Slice 111/155
FLAIR MR image.
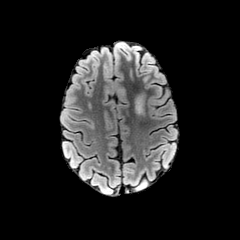
T1-weighted MR.
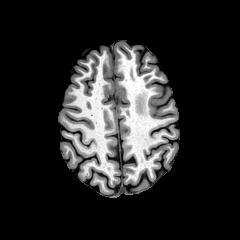
Post-contrast T1-weighted MR image.
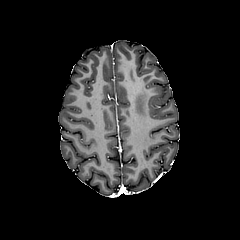
T2-weighted magnetic resonance.
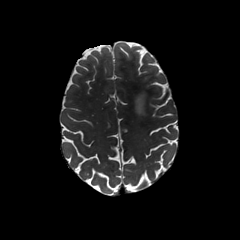
peritumoral edema at [x1=135, y1=94, x2=144, y2=114]